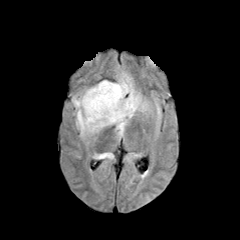
FLAIR MR image.
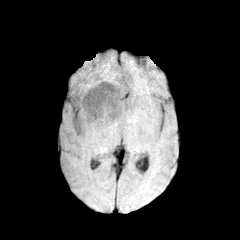
T1-weighted MRI.
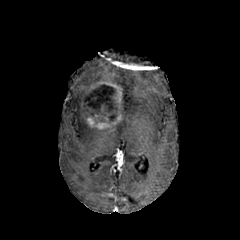
Post-contrast T1-weighted MR image.
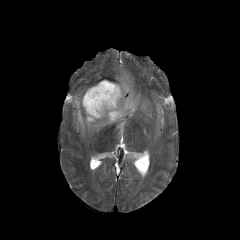
T2-weighted magnetic resonance of the same slice.
Axial slice
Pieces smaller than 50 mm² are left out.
{
  "peritumoral_edema": [
    "154:99:159:114",
    "112:70:151:137",
    "72:87:100:137",
    "94:153:108:159"
  ],
  "necrotic_tumor_core": [
    "83:84:118:122"
  ],
  "enhancing_tumor": [
    "81:81:122:129"
  ]
}